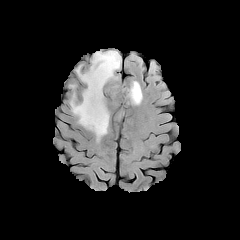
FLAIR MRI.
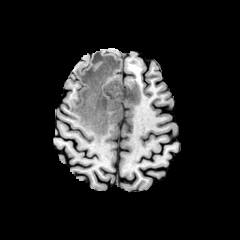
T1-weighted MRI.
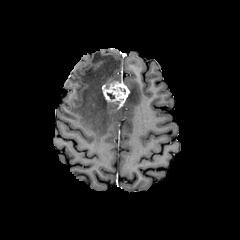
Same slice, post-contrast T1-weighted MR image.
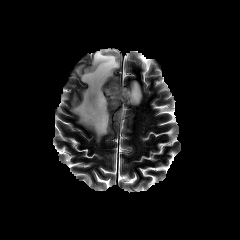
T2-weighted MR.
Brain
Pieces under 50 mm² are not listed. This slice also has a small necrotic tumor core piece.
peritumoral edema: (70, 50, 121, 141), (127, 81, 142, 105) | enhancing tumor: (102, 81, 129, 107)